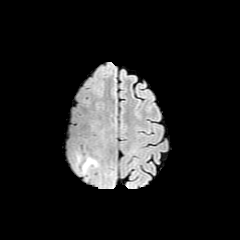
FLAIR MRI.
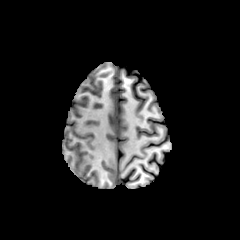
Same slice, T1-weighted MR.
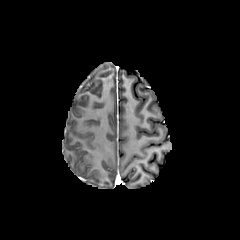
Post-contrast T1-weighted MR.
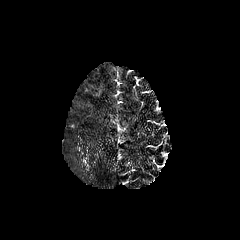
T2-weighted MR.
Brain. Axial plane.
The peritumoral edema is at [82, 158, 96, 171].